Slice 100 of 155, Axial plane
FLAIR MR.
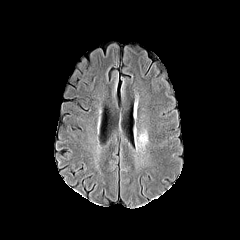
T1-weighted MR.
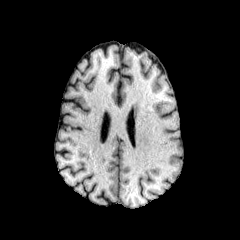
Post-contrast T1-weighted MRI.
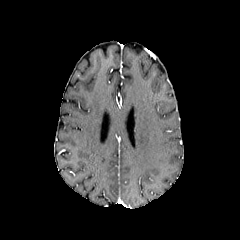
T2-weighted MRI.
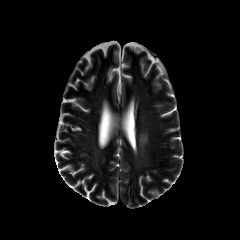
{"peritumoral_edema": ["[139,133,147,146]"]}